Head, 240x240, Slice index 44
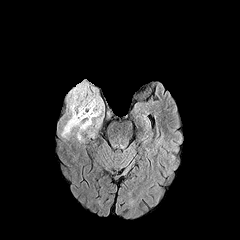
FLAIR MR.
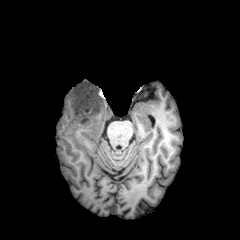
T1-weighted MR image.
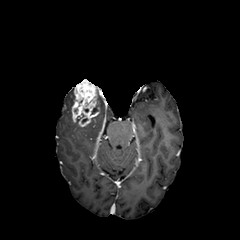
Post-contrast T1-weighted magnetic resonance.
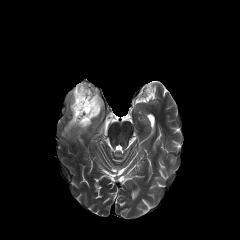
Same slice, T2-weighted MR.
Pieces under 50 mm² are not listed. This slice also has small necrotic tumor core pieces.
peritumoral edema at (left=61, top=89, right=93, bottom=141), (left=94, top=93, right=104, bottom=127)
enhancing tumor at (left=71, top=79, right=100, bottom=127)